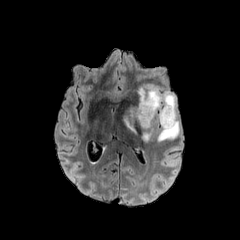
FLAIR MRI.
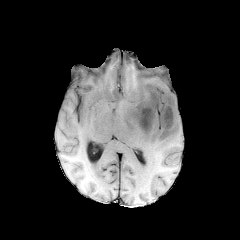
T1-weighted magnetic resonance of the same slice.
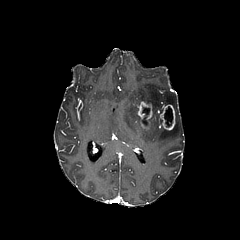
Post-contrast T1-weighted MRI.
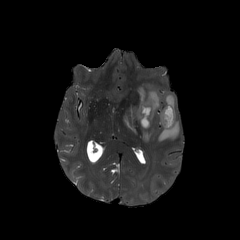
T2-weighted MR image of the same slice.
Brain
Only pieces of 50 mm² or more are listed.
The 3 largest peritumoral edema regions appear at (123,105,139,133), (139,86,180,141), (142,129,149,141). 2 enhancing tumor regions are located at (137,101,152,129), (159,104,175,130). 2 necrotic tumor core regions are located at (142,107,150,125), (164,106,172,127).